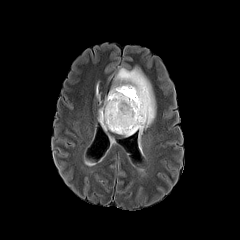
FLAIR MRI.
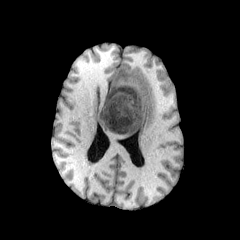
T1-weighted MRI of the same slice.
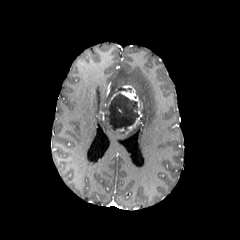
Post-contrast T1-weighted MR image of the same slice.
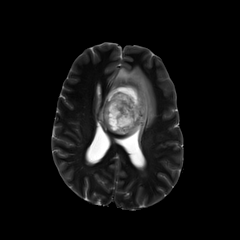
T2-weighted magnetic resonance of the same slice.
Axial view. Brain.
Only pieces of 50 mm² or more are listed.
Findings:
• necrotic tumor core: 103, 87, 138, 133
• enhancing tumor: 111, 85, 141, 133
• peritumoral edema: 98, 106, 111, 130; 109, 66, 155, 150